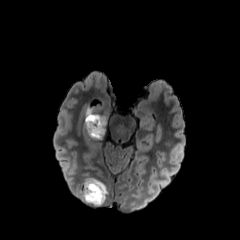
FLAIR MR.
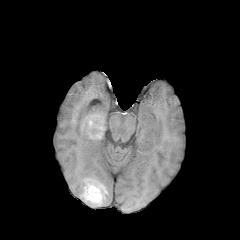
T1-weighted MRI of the same slice.
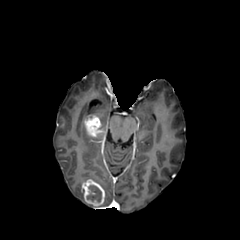
Same slice, post-contrast T1-weighted MR.
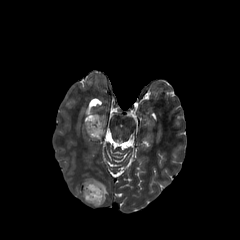
T2-weighted magnetic resonance.
Head; Axial slice
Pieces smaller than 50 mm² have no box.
The necrotic tumor core is bounded by (x1=87, y1=185, x2=101, y2=202). The 2 largest enhancing tumor regions are located at (x1=82, y1=179, x2=105, y2=206), (x1=84, y1=115, x2=104, y2=136). The 3 largest peritumoral edema regions are located at (x1=87, y1=132, x2=104, y2=139), (x1=85, y1=108, x2=105, y2=131), (x1=84, y1=177, x2=108, y2=205).